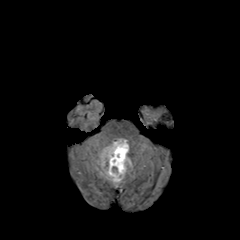
FLAIR MR image.
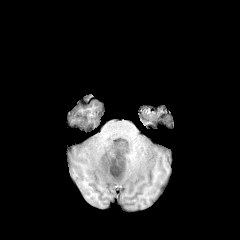
T1-weighted magnetic resonance.
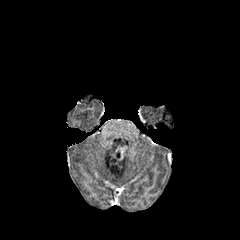
Post-contrast T1-weighted MR.
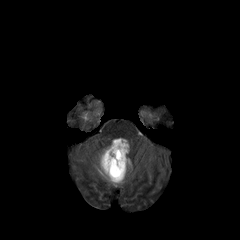
T2-weighted MRI.
Axial slice | Head
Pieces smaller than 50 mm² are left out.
necrotic tumor core: bounding box {"x1": 110, "y1": 164, "x2": 121, "y2": 176}
peritumoral edema: bounding box {"x1": 95, "y1": 138, "x2": 132, "y2": 186}
enhancing tumor: bounding box {"x1": 107, "y1": 145, "x2": 127, "y2": 174}